Axial view; Brain
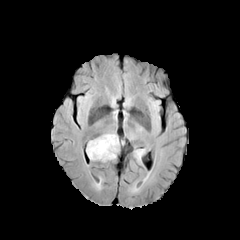
FLAIR MRI.
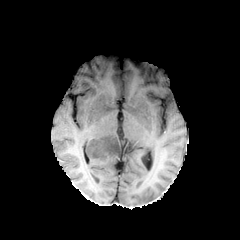
Same slice, T1-weighted MRI.
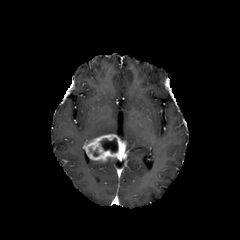
Post-contrast T1-weighted MR image of the same slice.
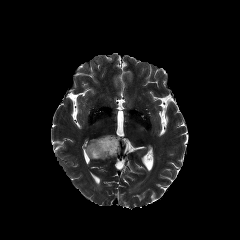
T2-weighted MR of the same slice.
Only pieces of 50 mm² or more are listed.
necrotic_tumor_core:
  - {"x1": 100, "y1": 138, "x2": 117, "y2": 152}
enhancing_tumor:
  - {"x1": 85, "y1": 134, "x2": 125, "y2": 161}
peritumoral_edema:
  - {"x1": 134, "y1": 150, "x2": 144, "y2": 159}